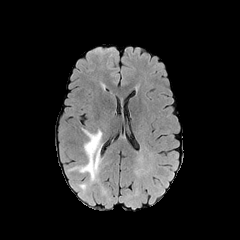
FLAIR MR.
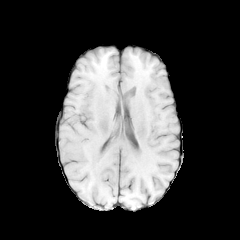
T1-weighted MRI.
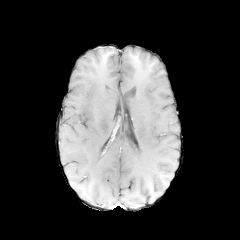
Post-contrast T1-weighted magnetic resonance.
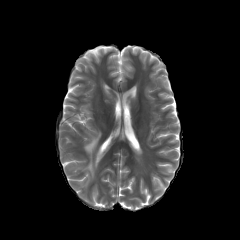
T2-weighted MR.
Axial view; 240x240 px
The peritumoral edema lies within <bbox>68, 129, 102, 189</bbox>.